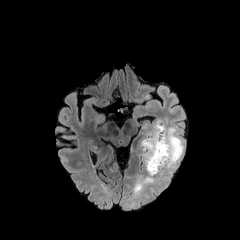
FLAIR magnetic resonance.
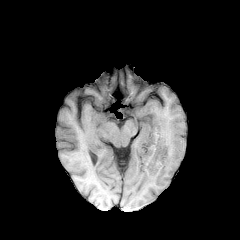
T1-weighted magnetic resonance.
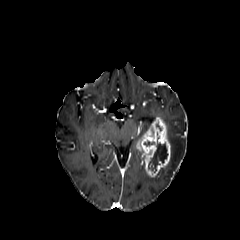
Post-contrast T1-weighted MR image of the same slice.
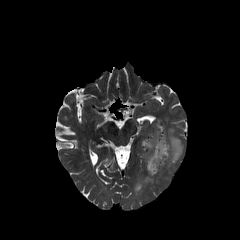
Same slice, T2-weighted MRI.
Brain | Axial slice
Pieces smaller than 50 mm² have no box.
<segmentation>
  <necrotic_tumor_core>left=148, top=143, right=167, bottom=172</necrotic_tumor_core>
  <enhancing_tumor>left=137, top=117, right=170, bottom=176</enhancing_tumor>
  <peritumoral_edema>left=133, top=117, right=183, bottom=192</peritumoral_edema>
</segmentation>